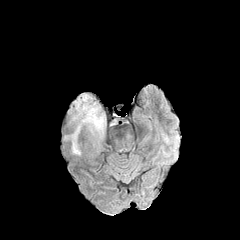
FLAIR MR image.
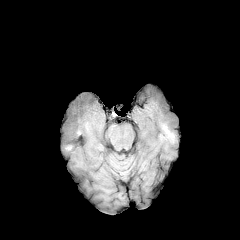
T1-weighted magnetic resonance.
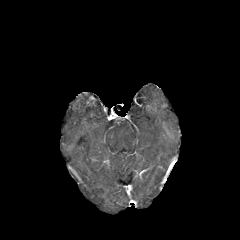
Same slice, post-contrast T1-weighted magnetic resonance.
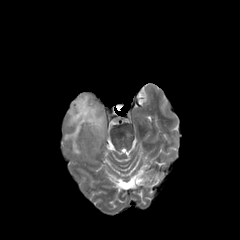
T2-weighted MRI.
Axial view; 240x240; Brain
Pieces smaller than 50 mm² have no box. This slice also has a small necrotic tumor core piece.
peritumoral edema at region(67, 94, 103, 154)
enhancing tumor at region(86, 96, 95, 105)